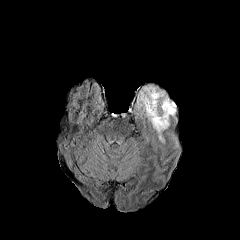
FLAIR magnetic resonance.
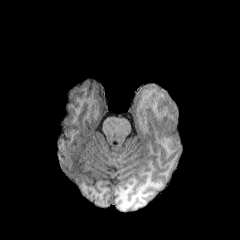
Same slice, T1-weighted MR.
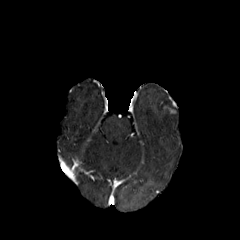
Post-contrast T1-weighted magnetic resonance.
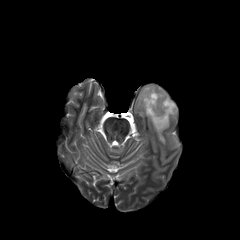
T2-weighted magnetic resonance of the same slice.
Axial slice
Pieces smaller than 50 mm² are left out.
The peritumoral edema lies within (left=137, top=85, right=176, bottom=142). The largest enhancing tumor region appears at (left=163, top=105, right=175, bottom=113).